FLAIR magnetic resonance.
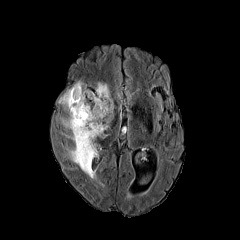
T1-weighted magnetic resonance.
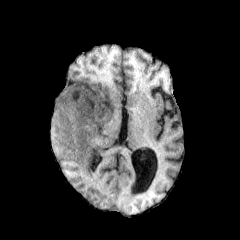
Post-contrast T1-weighted MR.
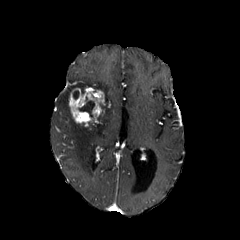
T2-weighted magnetic resonance.
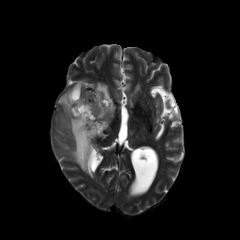
Axial slice. Image size 240x240.
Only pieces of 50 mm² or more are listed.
{
  "necrotic_tumor_core": [
    "79:97:94:117"
  ],
  "enhancing_tumor": [
    "69:88:106:126"
  ],
  "peritumoral_edema": [
    "58:82:113:178"
  ]
}